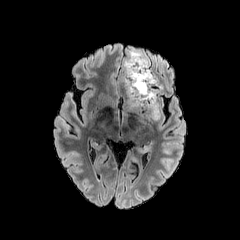
FLAIR magnetic resonance.
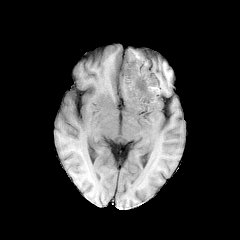
T1-weighted MR image.
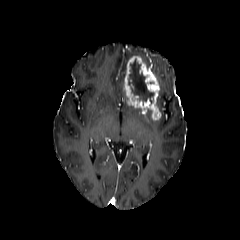
Same slice, post-contrast T1-weighted magnetic resonance.
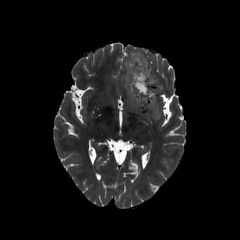
T2-weighted MRI.
240x240 px, Axial plane, Head
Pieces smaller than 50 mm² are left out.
• peritumoral edema: [121, 48, 148, 87]
• necrotic tumor core: [128, 58, 154, 103]
• enhancing tumor: [124, 56, 160, 119]